FLAIR MR image.
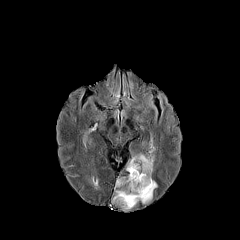
T1-weighted MR.
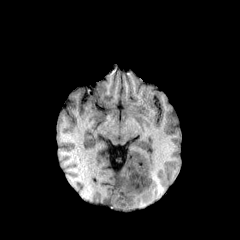
Post-contrast T1-weighted MR image.
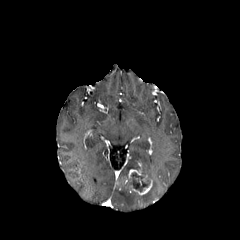
T2-weighted MR image.
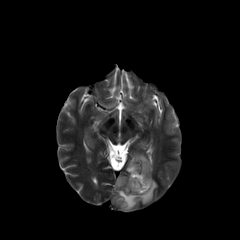
Head
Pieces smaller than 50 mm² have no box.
The 2 largest enhancing tumor regions appear at bbox(129, 174, 152, 195); bbox(116, 165, 144, 188). The 2 largest peritumoral edema regions are located at bbox(126, 153, 154, 178); bbox(112, 180, 157, 210). The necrotic tumor core appears at bbox(129, 172, 149, 191).